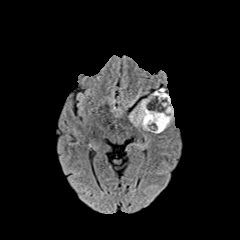
FLAIR MR.
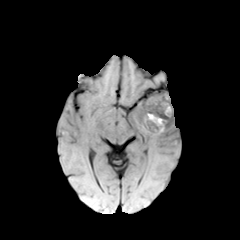
T1-weighted MR image of the same slice.
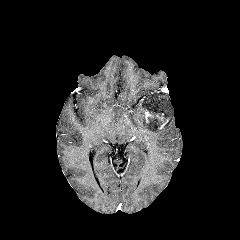
Post-contrast T1-weighted MR image.
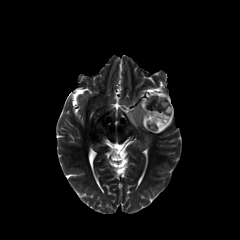
T2-weighted MR image.
240x240. Head.
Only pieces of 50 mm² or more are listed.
<segmentation>
  <peritumoral_edema>x1=129 y1=93 x2=173 y2=133</peritumoral_edema>
  <necrotic_tumor_core>x1=146 y1=92 x2=168 y2=129</necrotic_tumor_core>
  <enhancing_tumor>x1=144 y1=109 x2=153 y2=122</enhancing_tumor>
</segmentation>